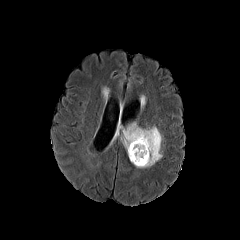
FLAIR MR image.
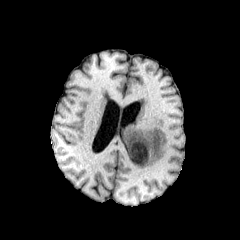
T1-weighted magnetic resonance.
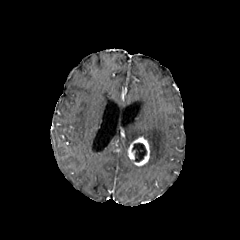
Post-contrast T1-weighted MR image.
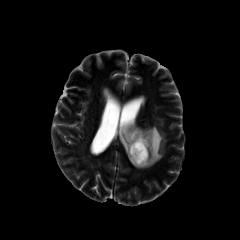
Same slice, T2-weighted MR.
<segmentation>
  <enhancing_tumor>bbox(127, 136, 149, 166)</enhancing_tumor>
  <peritumoral_edema>bbox(124, 124, 162, 168)</peritumoral_edema>
  <necrotic_tumor_core>bbox(132, 143, 146, 162)</necrotic_tumor_core>
</segmentation>